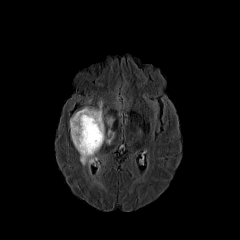
FLAIR magnetic resonance.
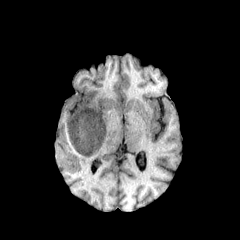
T1-weighted MRI.
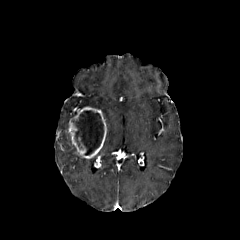
Post-contrast T1-weighted MRI.
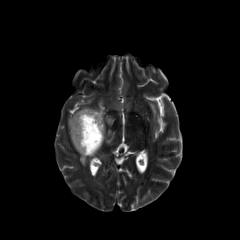
T2-weighted MR.
Head
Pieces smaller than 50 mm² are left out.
peritumoral_edema:
  - 106,117,113,126
  - 80,156,96,167
  - 105,129,114,144
enhancing_tumor:
  - 68,106,107,158
necrotic_tumor_core:
  - 73,111,103,155